240x240 | Axial plane | Slice 65 of 155
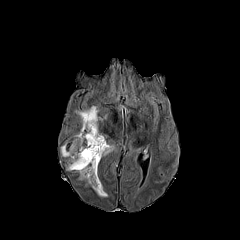
FLAIR MRI.
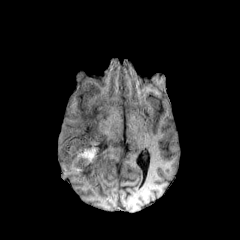
T1-weighted magnetic resonance.
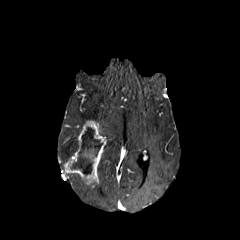
Post-contrast T1-weighted MR of the same slice.
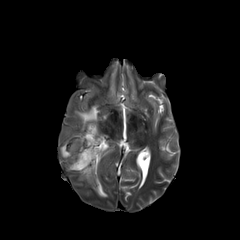
T2-weighted MR.
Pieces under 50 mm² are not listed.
The enhancing tumor is at x1=64, y1=120, x2=106, y2=187. The 4 largest peritumoral edema regions are located at x1=93, y1=181, x2=107, y2=197; x1=60, y1=134, x2=78, y2=158; x1=102, y1=144, x2=114, y2=156; x1=75, y1=106, x2=98, y2=126. The necrotic tumor core lies within x1=71, y1=127, x2=102, y2=174.